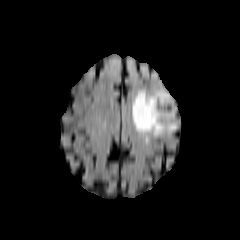
FLAIR MRI.
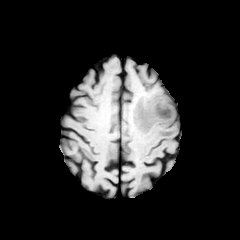
T1-weighted MRI.
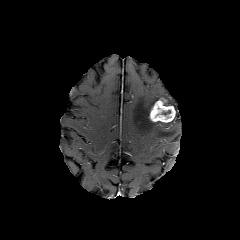
Same slice, post-contrast T1-weighted MR image.
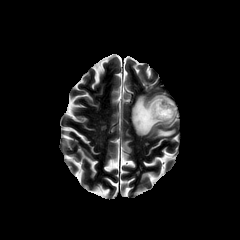
T2-weighted magnetic resonance.
Head; Axial view
enhancing tumor at bbox=[149, 97, 175, 122]
necrotic tumor core at bbox=[155, 106, 172, 118]
peritumoral edema at bbox=[132, 91, 176, 139]